FLAIR MRI.
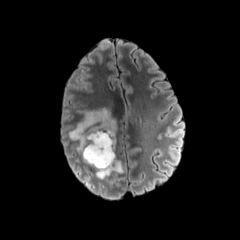
T1-weighted MR.
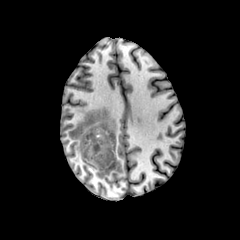
Post-contrast T1-weighted magnetic resonance.
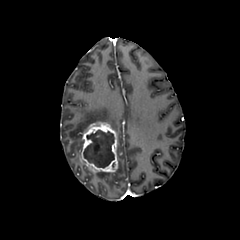
T2-weighted MR.
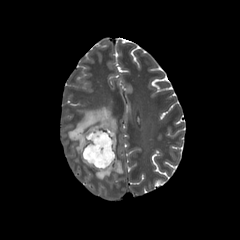
240x240 px, Axial plane
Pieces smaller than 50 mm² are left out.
The enhancing tumor appears at [81,121,118,172]. 3 peritumoral edema regions are bounded by [95,172,111,179], [68,107,116,152], [112,160,123,173]. The largest necrotic tumor core region is at [83,130,114,167].